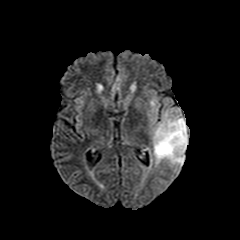
FLAIR MR.
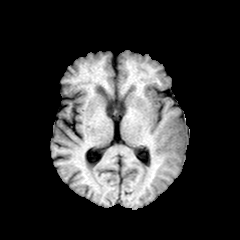
Same slice, T1-weighted MR.
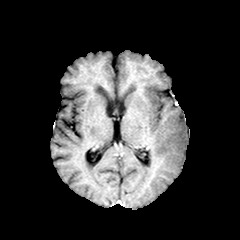
Post-contrast T1-weighted magnetic resonance of the same slice.
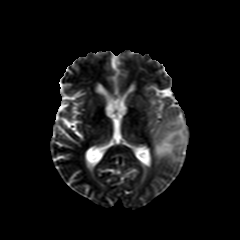
Same slice, T2-weighted MRI.
Axial view, Head
Segmented structures:
• peritumoral edema: (x1=151, y1=109, x2=188, y2=165)